FLAIR MR image.
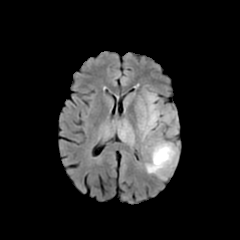
T1-weighted magnetic resonance.
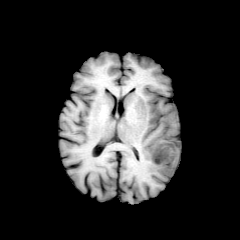
Post-contrast T1-weighted MRI.
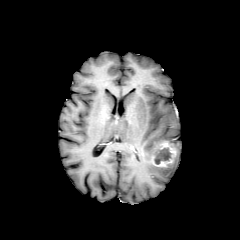
T2-weighted MR image.
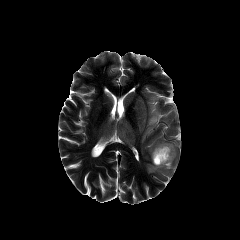
Image size 240x240. Axial view. Brain.
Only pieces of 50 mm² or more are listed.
necrotic tumor core: 154,148,171,164
enhancing tumor: 152,142,176,167
peritumoral edema: 139,92,175,139; 145,139,179,179